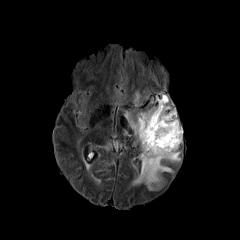
FLAIR magnetic resonance.
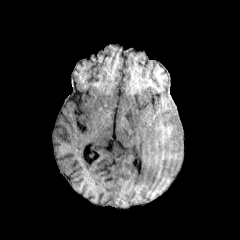
T1-weighted MR.
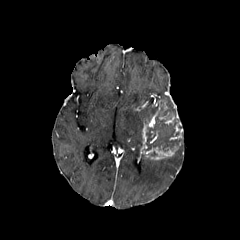
Post-contrast T1-weighted MRI.
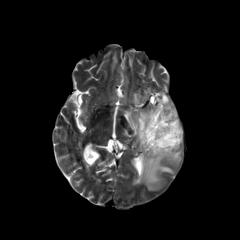
Same slice, T2-weighted MRI.
Head.
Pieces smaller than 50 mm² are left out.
The 3 largest peritumoral edema regions are located at rect(125, 94, 168, 143); rect(140, 154, 172, 190); rect(165, 151, 180, 161). The largest necrotic tumor core region is located at rect(144, 104, 181, 151). The 3 largest enhancing tumor regions appear at rect(159, 112, 178, 124); rect(169, 120, 182, 139); rect(141, 107, 178, 159).